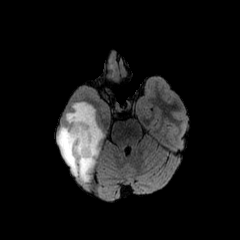
FLAIR MR.
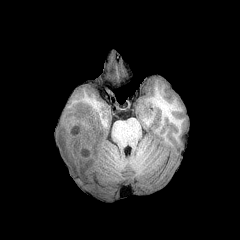
T1-weighted magnetic resonance.
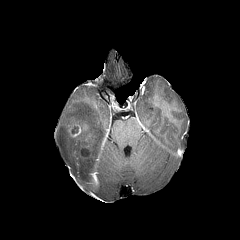
Post-contrast T1-weighted MR.
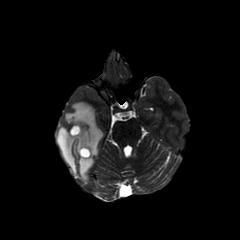
T2-weighted MR image.
240x240; Head
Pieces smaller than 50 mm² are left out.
necrotic tumor core: bbox=[81, 149, 89, 156] | enhancing tumor: bbox=[69, 124, 88, 137]; bbox=[80, 147, 91, 158] | peritumoral edema: bbox=[57, 102, 103, 180]